Slice index 82, Axial slice, Head
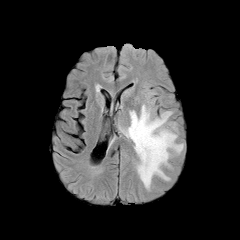
FLAIR MR image.
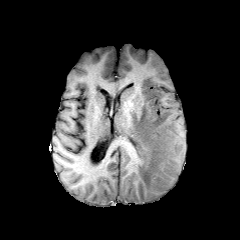
T1-weighted MR of the same slice.
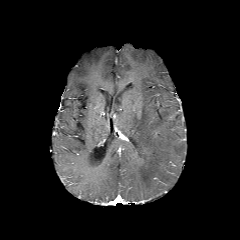
Post-contrast T1-weighted MR image of the same slice.
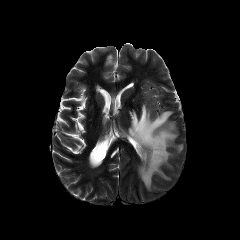
T2-weighted MRI of the same slice.
peritumoral edema = bbox(121, 104, 183, 190)